FLAIR magnetic resonance.
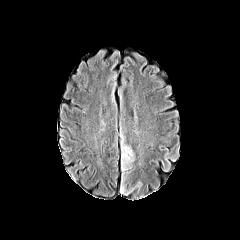
T1-weighted MR.
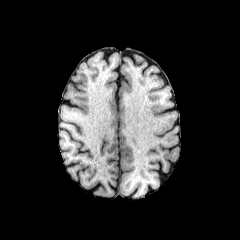
Post-contrast T1-weighted MR.
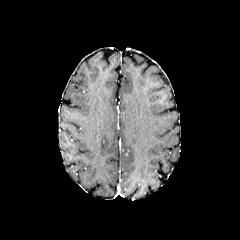
T2-weighted MR image.
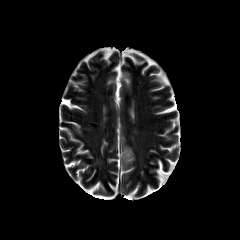
Head
<segmentation>
  <peritumoral_edema><box>120,135,135,171</box></peritumoral_edema>
</segmentation>